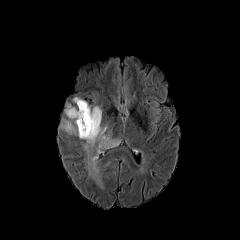
FLAIR magnetic resonance.
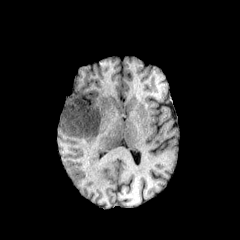
T1-weighted MR.
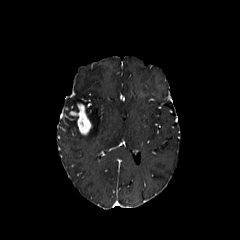
Post-contrast T1-weighted magnetic resonance of the same slice.
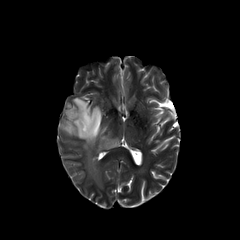
Same slice, T2-weighted MR image.
Axial plane.
The enhancing tumor lies within 69, 103, 92, 135. The peritumoral edema is at 61, 97, 119, 187.